Image covers 240 mm x 240 mm.
FLAIR MR.
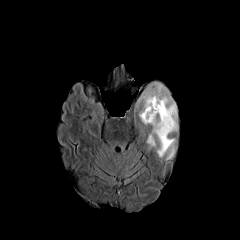
T1-weighted magnetic resonance.
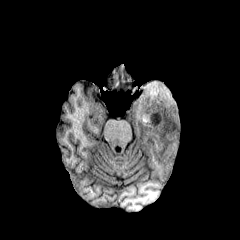
Post-contrast T1-weighted MR.
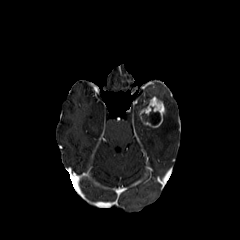
T2-weighted MR.
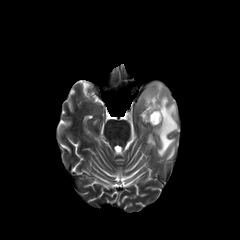
The enhancing tumor appears at (139,96,165,127). The necrotic tumor core lies within (142,107,160,125). The peritumoral edema is at (137,82,178,159).